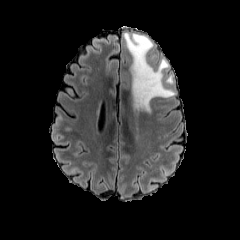
FLAIR MR image.
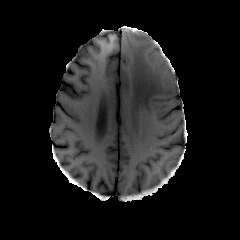
T1-weighted MR.
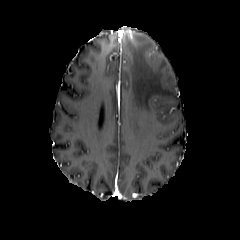
Post-contrast T1-weighted MRI of the same slice.
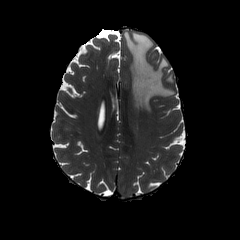
T2-weighted MR of the same slice.
Axial slice; 240x240
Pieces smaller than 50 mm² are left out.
The largest peritumoral edema region is located at (x1=123, y1=32, x2=174, y2=114).